FLAIR MR image.
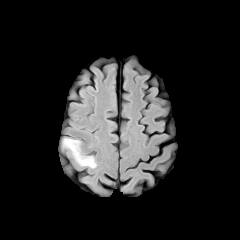
T1-weighted MR.
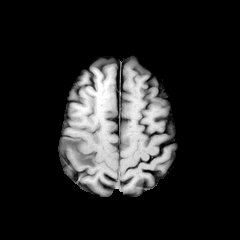
Post-contrast T1-weighted MRI.
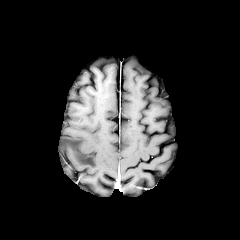
T2-weighted MRI.
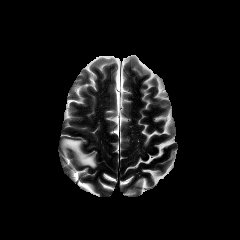
Head | Axial plane
<segmentation>
  <peritumoral_edema><bbox>62, 138, 96, 168</bbox></peritumoral_edema>
</segmentation>